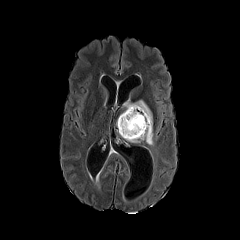
FLAIR MR.
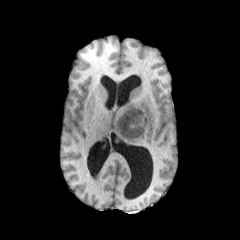
T1-weighted magnetic resonance of the same slice.
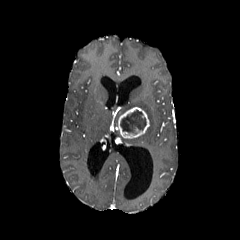
Post-contrast T1-weighted MR image.
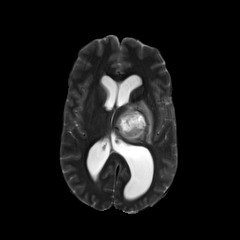
T2-weighted magnetic resonance of the same slice.
240x240 px. Axial plane.
necrotic tumor core = l=120, t=110, r=146, b=136
enhancing tumor = l=116, t=107, r=149, b=138
peritumoral edema = l=124, t=100, r=153, b=144